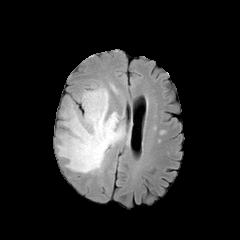
FLAIR MR image.
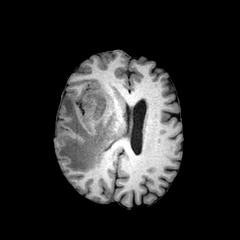
T1-weighted MRI of the same slice.
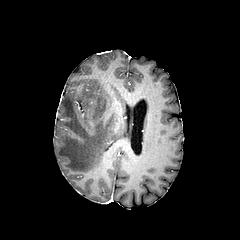
Post-contrast T1-weighted MR image of the same slice.
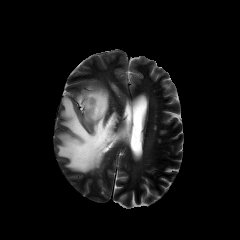
T2-weighted MR.
240x240 px | Axial view
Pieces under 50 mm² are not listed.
peritumoral edema at rect(57, 84, 125, 173)